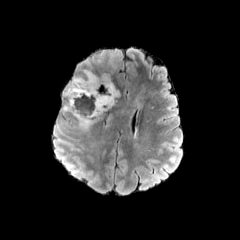
FLAIR magnetic resonance.
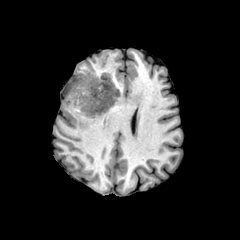
T1-weighted magnetic resonance.
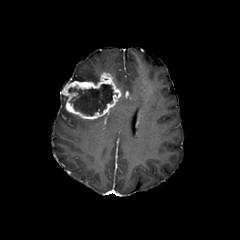
Post-contrast T1-weighted magnetic resonance of the same slice.
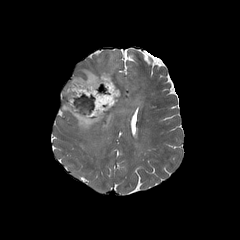
T2-weighted magnetic resonance.
Head.
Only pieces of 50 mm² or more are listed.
enhancing tumor = box(62, 72, 121, 119)
necrotic tumor core = box(68, 84, 113, 116)
peritumoral edema = box(72, 68, 99, 81); box(109, 53, 116, 68); box(132, 95, 143, 106); box(62, 95, 103, 131)